Head.
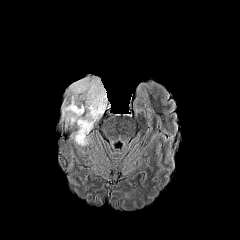
FLAIR MR image.
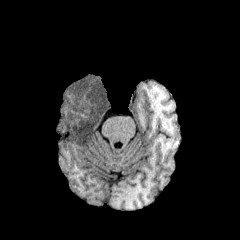
T1-weighted MRI.
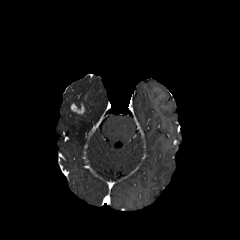
Same slice, post-contrast T1-weighted MR.
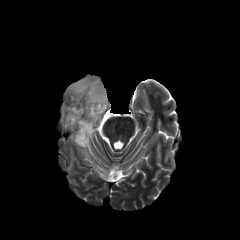
Same slice, T2-weighted MRI.
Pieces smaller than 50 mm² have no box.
peritumoral edema = [62, 77, 107, 145]
enhancing tumor = [70, 103, 83, 114]